Brain, Axial plane
FLAIR MR.
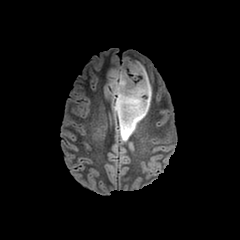
T1-weighted MRI.
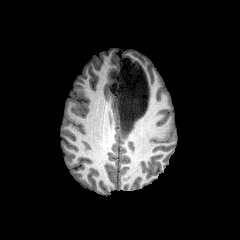
Post-contrast T1-weighted MR.
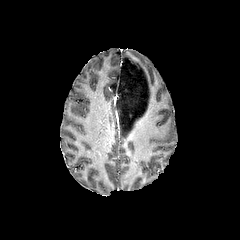
T2-weighted magnetic resonance.
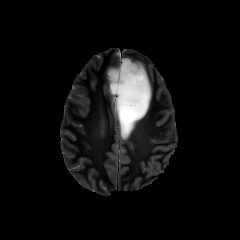
peritumoral edema: left=107, top=57, right=151, bottom=141